FLAIR MRI.
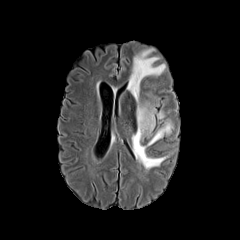
T1-weighted MR.
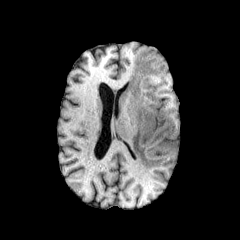
Post-contrast T1-weighted MR.
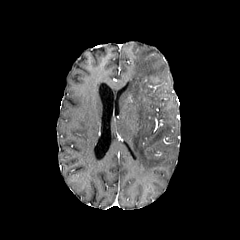
T2-weighted MRI.
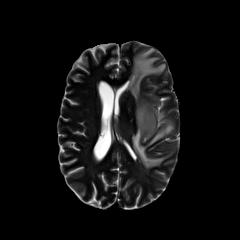
240x240 px.
peritumoral edema = 127, 48, 172, 169; 157, 111, 164, 119